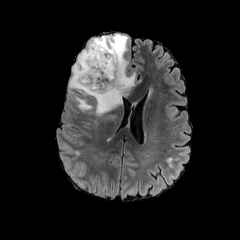
FLAIR MR image.
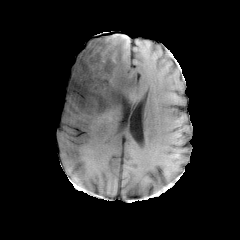
Same slice, T1-weighted MR image.
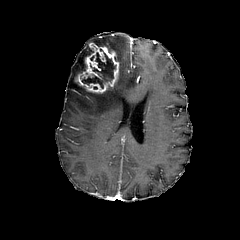
Post-contrast T1-weighted MR image of the same slice.
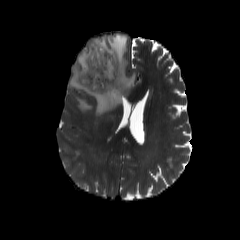
T2-weighted magnetic resonance.
Axial slice.
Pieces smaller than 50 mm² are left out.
enhancing tumor: x1=74, y1=43, x2=119, y2=93 | necrotic tumor core: x1=82, y1=52, x2=115, y2=88 | peritumoral edema: x1=68, y1=34, x2=135, y2=115